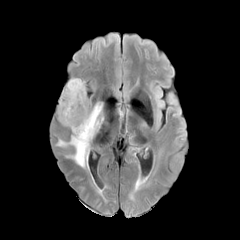
FLAIR MRI.
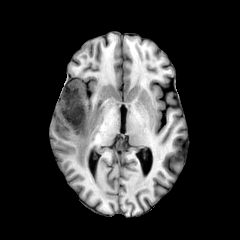
T1-weighted MRI.
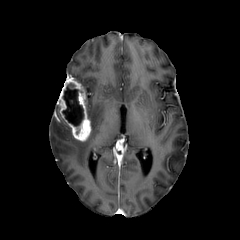
Post-contrast T1-weighted MR of the same slice.
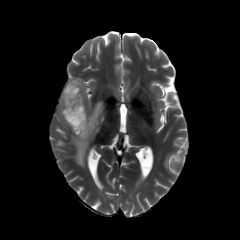
T2-weighted MRI.
Head; Axial plane; 240x240 px
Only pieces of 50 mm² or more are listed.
peritumoral edema: bounding box <box>57,103,104,167</box>
enhancing tumor: bounding box <box>57,77,91,141</box>
necrotic tumor core: bounding box <box>62,83,83,126</box>